240x240 px. Slice 86 of 155.
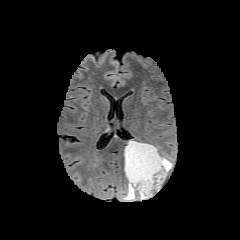
FLAIR magnetic resonance.
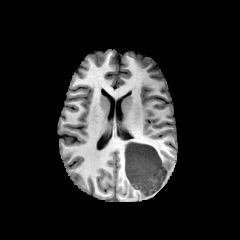
T1-weighted MR image.
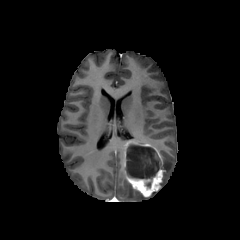
Post-contrast T1-weighted magnetic resonance of the same slice.
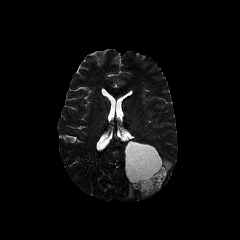
T2-weighted MRI.
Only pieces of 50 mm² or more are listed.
enhancing tumor — l=124, t=140, r=165, b=197
peritumoral edema — l=124, t=183, r=136, b=199; l=162, t=157, r=172, b=181
necrotic tumor core — l=125, t=144, r=160, b=178